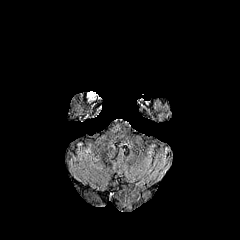
FLAIR MR image.
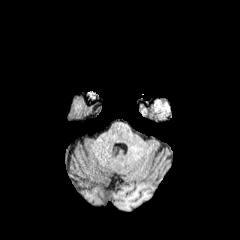
Same slice, T1-weighted MRI.
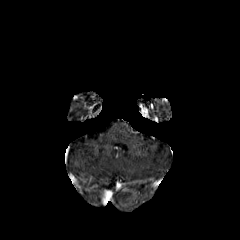
Post-contrast T1-weighted magnetic resonance.
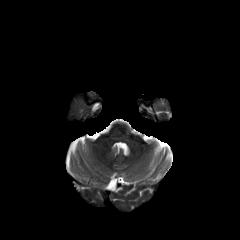
T2-weighted MR image.
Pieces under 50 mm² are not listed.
{"peritumoral_edema": ["73:104:87:108"]}